240x240 px. Image width 240 mm, 1.00 mm slice spacing. Brain.
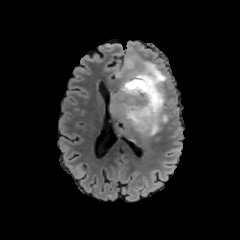
FLAIR MR image.
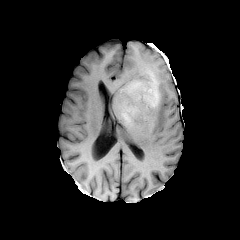
T1-weighted MRI.
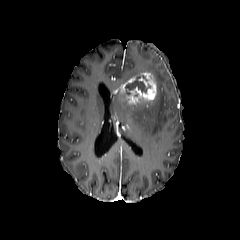
Post-contrast T1-weighted magnetic resonance.
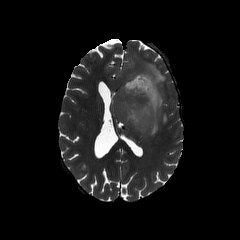
T2-weighted MR image.
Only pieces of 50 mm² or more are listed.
peritumoral_edema:
  - box(111, 55, 167, 135)
enhancing_tumor:
  - box(120, 72, 157, 103)
necrotic_tumor_core:
  - box(127, 75, 147, 92)